Slice 125 of 155.
FLAIR MR.
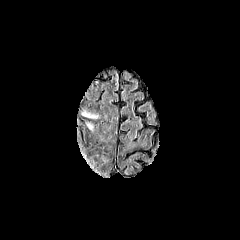
T1-weighted magnetic resonance.
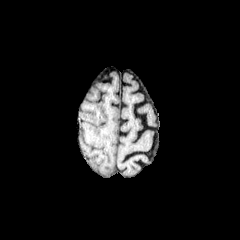
Post-contrast T1-weighted magnetic resonance.
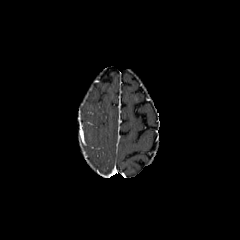
T2-weighted magnetic resonance.
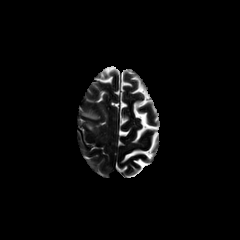
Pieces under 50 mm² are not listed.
peritumoral edema: (left=83, top=113, right=97, bottom=118)